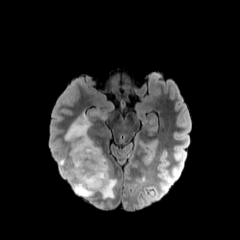
FLAIR magnetic resonance.
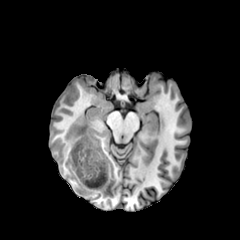
T1-weighted MR.
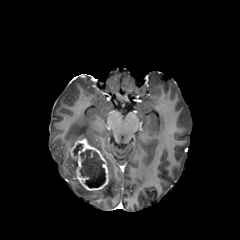
Post-contrast T1-weighted MR.
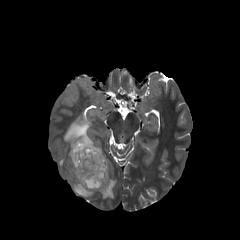
T2-weighted MR image.
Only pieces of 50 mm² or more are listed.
The largest enhancing tumor region is bounded by bbox=[70, 138, 108, 191]. The 3 largest peritumoral edema regions are located at bbox=[70, 156, 116, 198]; bbox=[58, 157, 64, 166]; bbox=[64, 113, 103, 155]. The 2 largest necrotic tumor core regions are located at bbox=[73, 143, 83, 155]; bbox=[79, 149, 105, 188].